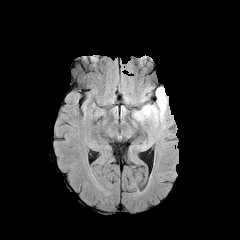
FLAIR MR.
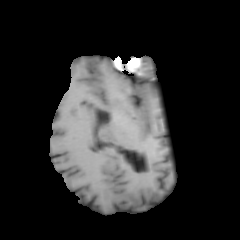
T1-weighted magnetic resonance.
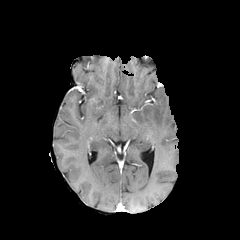
Post-contrast T1-weighted magnetic resonance.
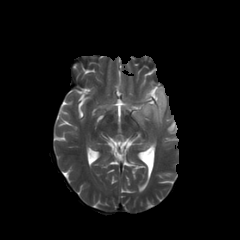
T2-weighted MR image.
Brain | Axial plane | Image size 240x240
<segmentation>
  <peritumoral_edema>133, 87, 165, 127</peritumoral_edema>
</segmentation>